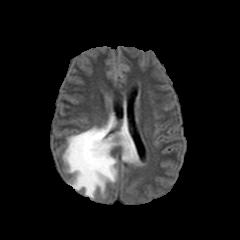
FLAIR MR image.
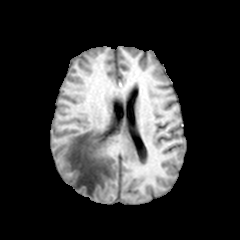
T1-weighted magnetic resonance.
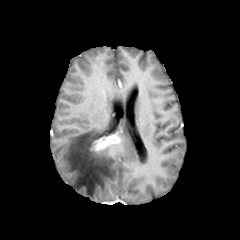
Post-contrast T1-weighted magnetic resonance.
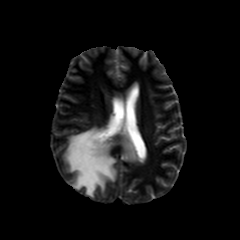
T2-weighted MRI.
Brain
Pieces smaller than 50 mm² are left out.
enhancing tumor = (90,134,119,152)
peritumoral edema = (62,125,139,198)